FLAIR MRI.
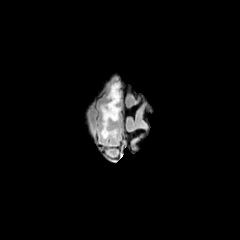
T1-weighted MR image.
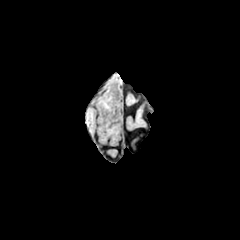
Post-contrast T1-weighted MR image.
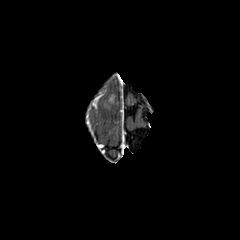
T2-weighted magnetic resonance.
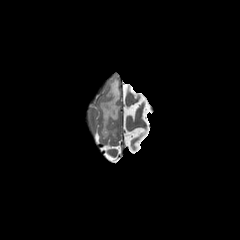
Brain
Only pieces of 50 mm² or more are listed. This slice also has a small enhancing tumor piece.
The peritumoral edema is at l=100, t=82, r=120, b=139.